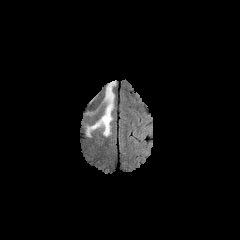
FLAIR MRI.
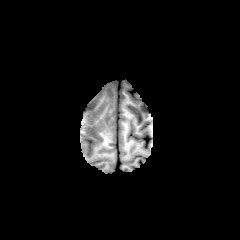
T1-weighted MRI.
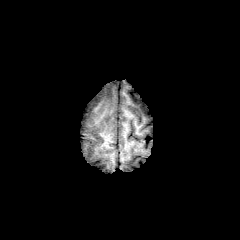
Post-contrast T1-weighted MRI of the same slice.
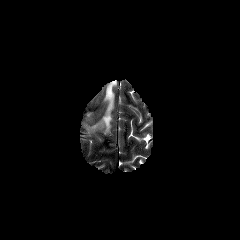
Same slice, T2-weighted MR.
Head. Axial plane.
The peritumoral edema appears at (88, 81, 115, 135).